FLAIR MR.
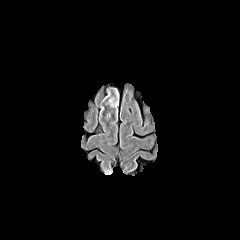
T1-weighted MR.
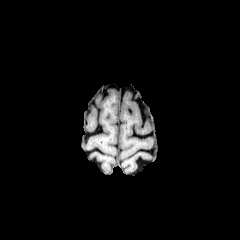
Post-contrast T1-weighted MRI.
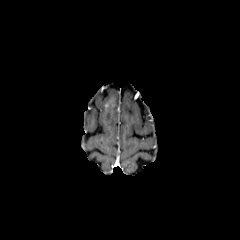
T2-weighted magnetic resonance.
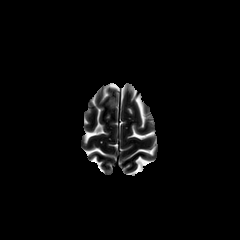
Image size 240x240
The peritumoral edema is bounded by {"x1": 105, "y1": 90, "x2": 117, "y2": 115}.